240x240 px | Axial plane | Slice index 96
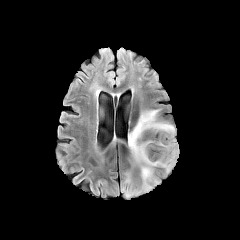
FLAIR MR.
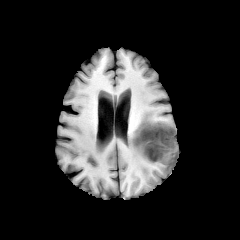
T1-weighted MR.
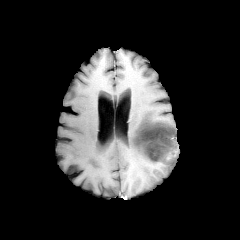
Same slice, post-contrast T1-weighted MR.
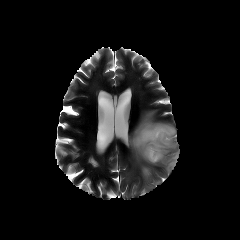
T2-weighted MR image.
{
  "necrotic_tumor_core": [
    "x1=136 y1=126 x2=175 y2=161"
  ],
  "peritumoral_edema": [
    "x1=128 y1=110 x2=178 y2=189"
  ],
  "enhancing_tumor": [
    "x1=135 y1=125 x2=177 y2=162"
  ]
}